FLAIR MRI.
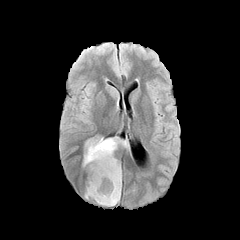
T1-weighted MRI.
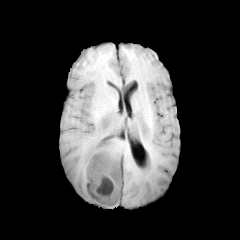
Post-contrast T1-weighted MR.
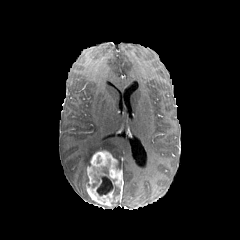
T2-weighted MR.
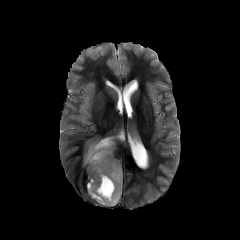
Head. Axial slice.
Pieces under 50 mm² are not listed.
<segmentation>
  <necrotic_tumor_core>box=[97, 176, 113, 195]</necrotic_tumor_core>
  <peritumoral_edema>box=[83, 135, 129, 166]</peritumoral_edema>
  <enhancing_tumor>box=[86, 150, 122, 206]</enhancing_tumor>
</segmentation>